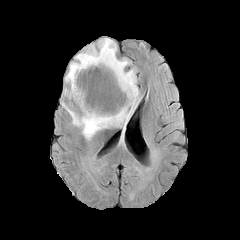
FLAIR MRI.
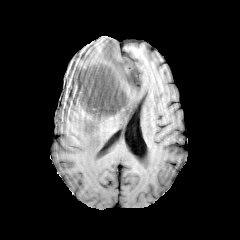
T1-weighted magnetic resonance.
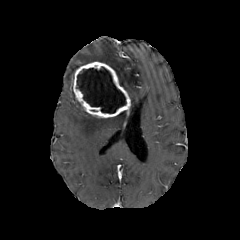
Post-contrast T1-weighted MRI of the same slice.
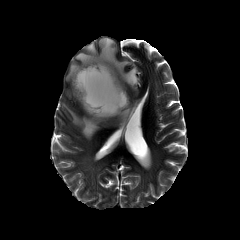
T2-weighted MRI.
Brain
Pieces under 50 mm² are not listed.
peritumoral_edema:
  - box(62, 38, 140, 139)
necrotic_tumor_core:
  - box(77, 67, 125, 113)
enhancing_tumor:
  - box(71, 61, 131, 118)